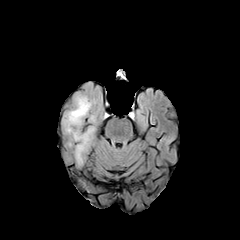
FLAIR MR image.
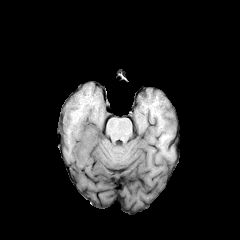
T1-weighted magnetic resonance.
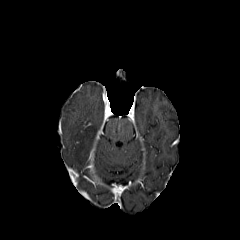
Same slice, post-contrast T1-weighted MR.
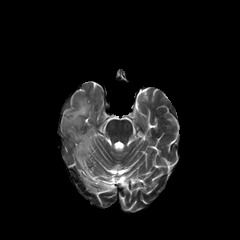
T2-weighted MR image of the same slice.
{"peritumoral_edema": ["bbox(60, 81, 103, 169)"]}